Axial slice | Head
FLAIR magnetic resonance.
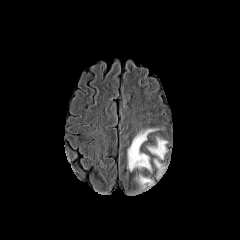
T1-weighted MRI.
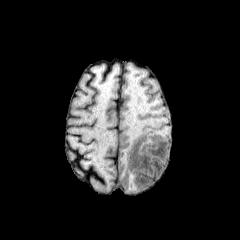
Post-contrast T1-weighted MRI.
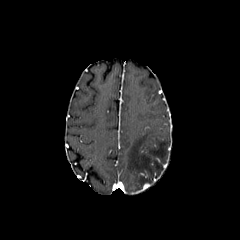
T2-weighted MR.
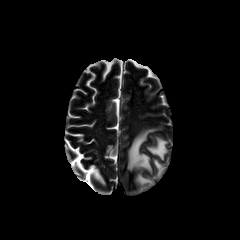
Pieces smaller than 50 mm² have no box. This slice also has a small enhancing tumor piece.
peritumoral edema: (127, 128, 157, 172), (136, 175, 152, 187), (147, 137, 167, 159), (154, 159, 163, 176)